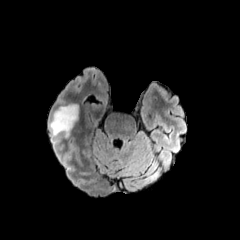
FLAIR magnetic resonance.
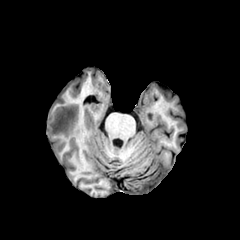
Same slice, T1-weighted MR image.
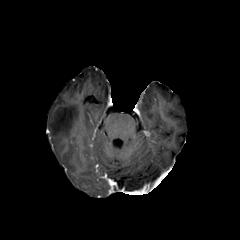
Same slice, post-contrast T1-weighted MR image.
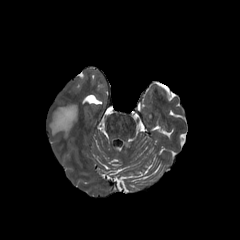
T2-weighted MRI.
240x240 px; Brain
The peritumoral edema is bounded by l=49, t=104, r=78, b=136.